240x240 px; Image width 240 mm, 1.00 mm slice spacing
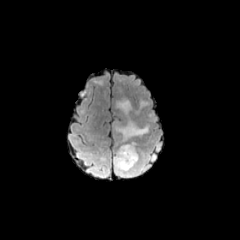
FLAIR MR.
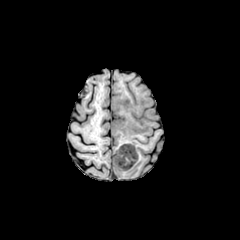
Same slice, T1-weighted MRI.
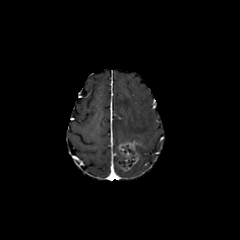
Post-contrast T1-weighted magnetic resonance of the same slice.
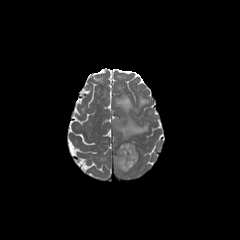
Same slice, T2-weighted magnetic resonance.
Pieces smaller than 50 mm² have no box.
enhancing tumor: <bbox>116, 141, 140, 171</bbox> | peritumoral edema: <bbox>115, 119, 148, 142</bbox>, <bbox>113, 154, 145, 176</bbox>, <bbox>116, 99, 132, 114</bbox>, <bbox>140, 99, 148, 107</bbox> | necrotic tumor core: <bbox>119, 155, 126, 166</bbox>